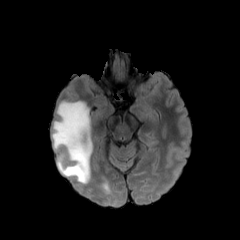
FLAIR magnetic resonance.
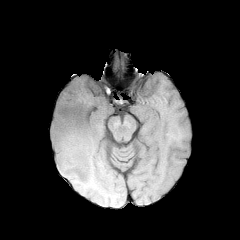
Same slice, T1-weighted MRI.
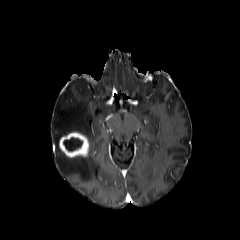
Post-contrast T1-weighted MR image.
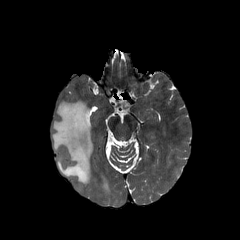
T2-weighted MR image.
240x240
necrotic tumor core — (64, 138, 82, 150)
peritumoral edema — (52, 100, 93, 183)
enhancing tumor — (59, 131, 89, 157)